Axial plane
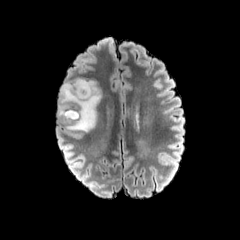
FLAIR MR.
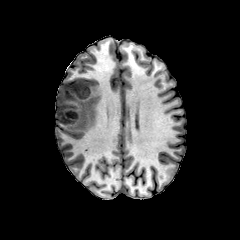
T1-weighted magnetic resonance of the same slice.
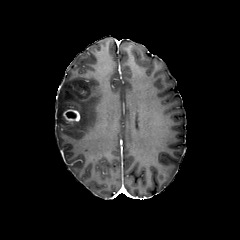
Same slice, post-contrast T1-weighted MR image.
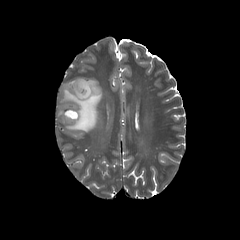
T2-weighted magnetic resonance of the same slice.
<segmentation>
  <enhancing_tumor>l=62, t=109, r=80, b=122</enhancing_tumor>
  <peritumoral_edema>l=57, t=78, r=102, b=132</peritumoral_edema>
  <necrotic_tumor_core>l=66, t=111, r=76, b=118</necrotic_tumor_core>
</segmentation>